Image width 240 mm
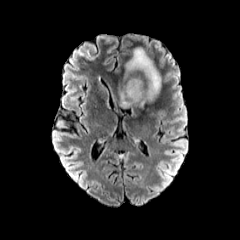
FLAIR MR image.
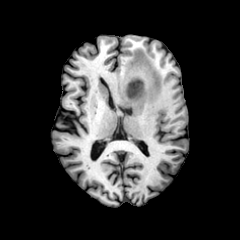
T1-weighted MR.
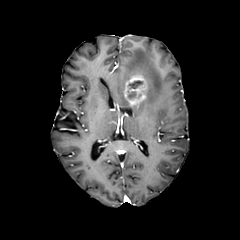
Post-contrast T1-weighted MR of the same slice.
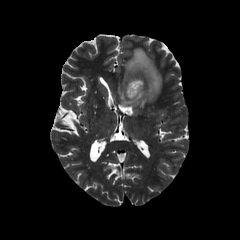
Same slice, T2-weighted MR image.
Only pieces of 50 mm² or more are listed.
necrotic tumor core: bounding box bbox=[129, 81, 142, 88]
enhancing tumor: bounding box bbox=[123, 74, 147, 106]
peritumoral edema: bounding box bbox=[119, 48, 161, 106]